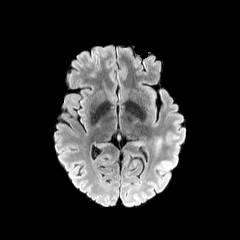
FLAIR MR image.
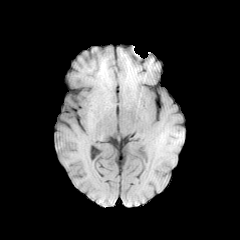
Same slice, T1-weighted MR.
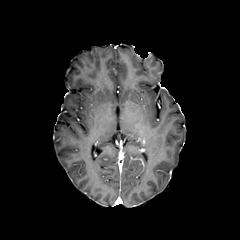
Same slice, post-contrast T1-weighted magnetic resonance.
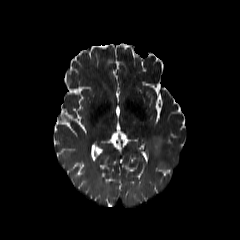
T2-weighted MR.
Brain, 240x240
peritumoral edema: bounding box 151, 136, 162, 152